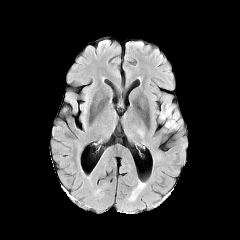
FLAIR MR.
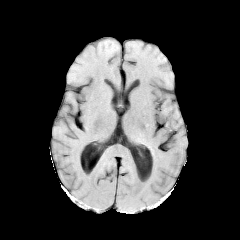
Same slice, T1-weighted magnetic resonance.
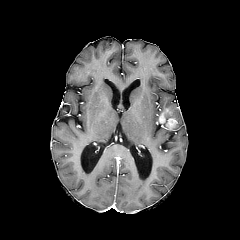
Post-contrast T1-weighted MR.
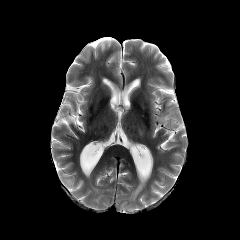
T2-weighted MR.
Head
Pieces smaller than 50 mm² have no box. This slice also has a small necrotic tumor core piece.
enhancing tumor: [159,108,177,129] | peritumoral edema: [165,103,182,129]